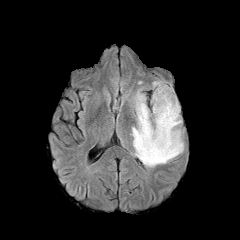
FLAIR magnetic resonance.
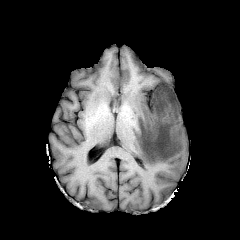
Same slice, T1-weighted MR.
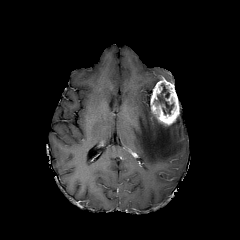
Post-contrast T1-weighted MRI.
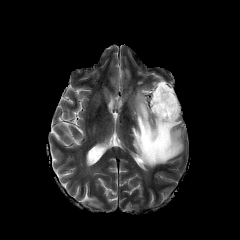
T2-weighted MR image of the same slice.
Image size 240x240; Brain
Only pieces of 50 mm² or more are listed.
enhancing tumor: 150:78:179:126
necrotic tumor core: 157:84:173:114
peritumoral edema: 131:90:183:167